FLAIR MR.
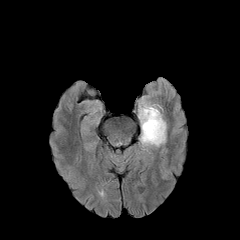
T1-weighted magnetic resonance.
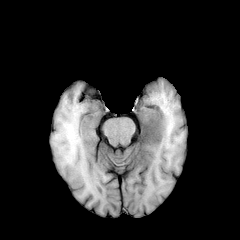
Post-contrast T1-weighted MRI.
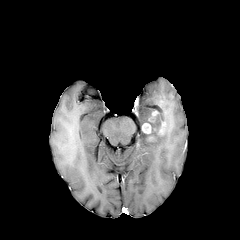
T2-weighted MR image.
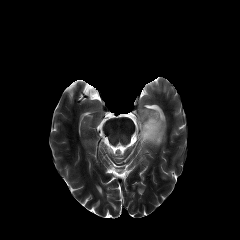
Head
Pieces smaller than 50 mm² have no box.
The 2 largest peritumoral edema regions are located at 140 131 165 150, 139 106 165 128. The largest enhancing tumor region appears at 142 110 166 141.